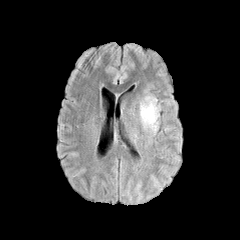
FLAIR MR.
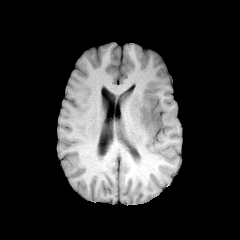
T1-weighted MR.
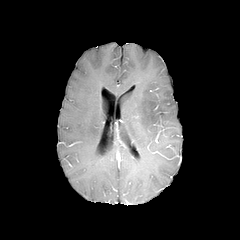
Same slice, post-contrast T1-weighted MR image.
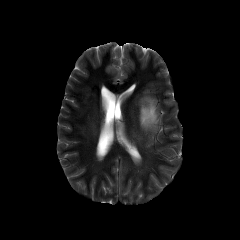
T2-weighted MR.
Axial view.
peritumoral edema: (139,95,159,133)